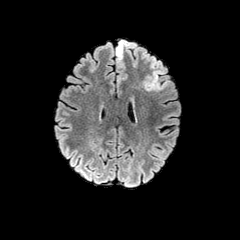
FLAIR magnetic resonance.
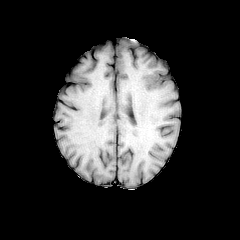
T1-weighted MR.
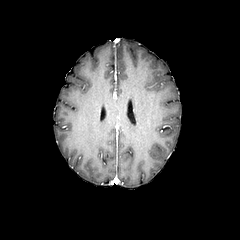
Post-contrast T1-weighted MR image.
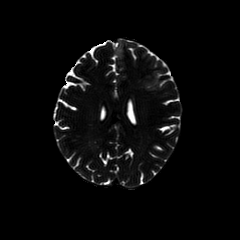
T2-weighted MR image.
peritumoral edema — bbox=[142, 70, 166, 90]; bbox=[115, 40, 127, 61]